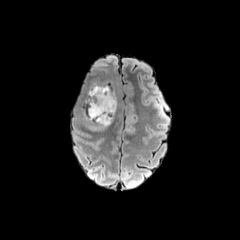
FLAIR MR image.
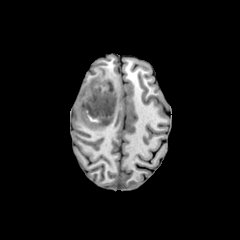
T1-weighted magnetic resonance.
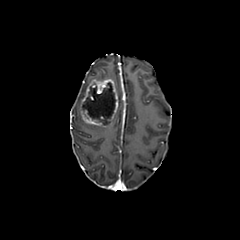
Post-contrast T1-weighted MR image.
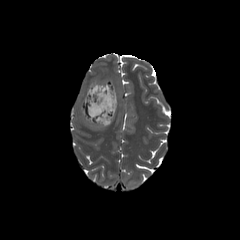
T2-weighted MR image.
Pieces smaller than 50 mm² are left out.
peritumoral_edema:
  - [89,125,106,131]
enhancing_tumor:
  - [80,79,118,127]
necrotic_tumor_core:
  - [82,82,115,123]